Axial view | Head | Slice 13 of 155
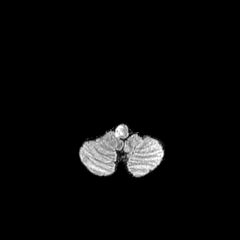
FLAIR magnetic resonance.
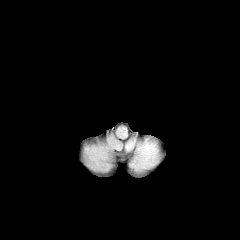
T1-weighted MR.
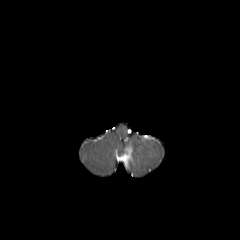
Post-contrast T1-weighted magnetic resonance.
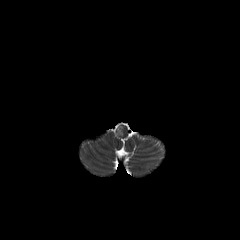
T2-weighted MRI.
peritumoral edema: bbox(115, 125, 123, 137)